Axial view; Slice 73 of 155; Image width 240 mm; Brain
FLAIR MR.
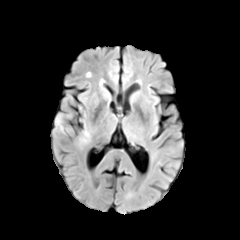
T1-weighted MR image.
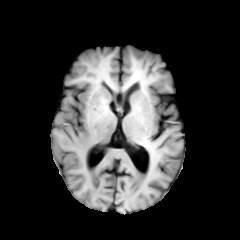
Post-contrast T1-weighted MRI.
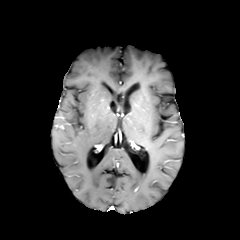
T2-weighted MRI.
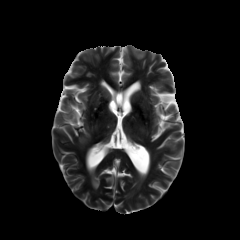
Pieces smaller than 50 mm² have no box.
peritumoral_edema:
  - 80, 131, 89, 142